Head, Slice index 53, Axial slice, Image width 240 mm, 1.00 mm slice spacing
FLAIR MRI.
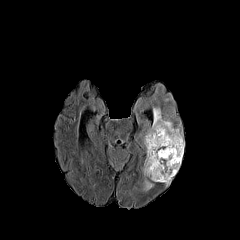
T1-weighted MR.
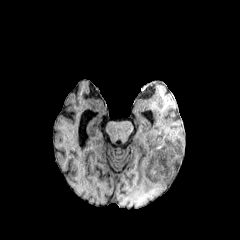
Post-contrast T1-weighted MR.
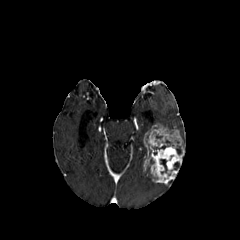
T2-weighted magnetic resonance.
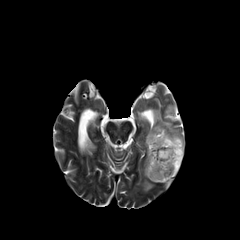
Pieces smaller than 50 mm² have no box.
enhancing tumor = bbox=[143, 123, 184, 184]
necrotic tumor core = bbox=[160, 159, 167, 172]
peritumoral edema = bbox=[143, 179, 153, 190]; bbox=[144, 167, 151, 179]; bbox=[153, 108, 174, 130]